Head
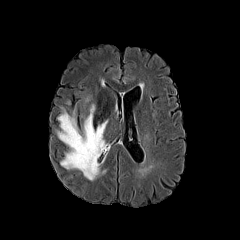
FLAIR MR.
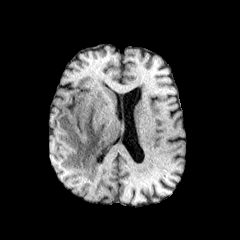
T1-weighted magnetic resonance.
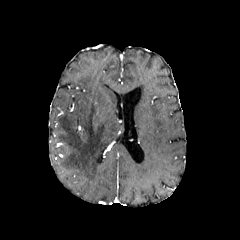
Post-contrast T1-weighted MR image of the same slice.
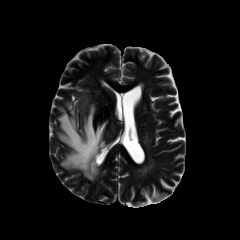
T2-weighted MR image.
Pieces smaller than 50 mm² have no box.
peritumoral edema: bounding box {"x1": 57, "y1": 104, "x2": 107, "y2": 180}